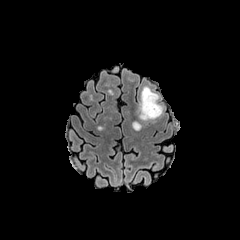
FLAIR MR image.
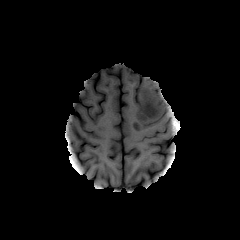
T1-weighted magnetic resonance.
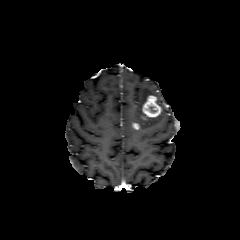
Post-contrast T1-weighted MR.
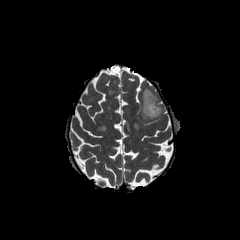
Same slice, T2-weighted MRI.
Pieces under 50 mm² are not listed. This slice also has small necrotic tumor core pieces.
peritumoral edema: left=139, top=87, right=158, bottom=120 | enhancing tumor: left=142, top=95, right=161, bottom=119